FLAIR MRI.
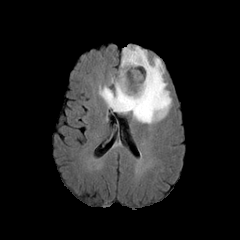
T1-weighted MR image.
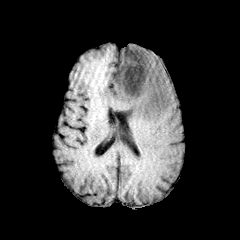
Post-contrast T1-weighted MRI.
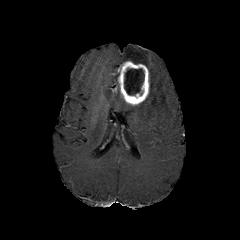
T2-weighted MR.
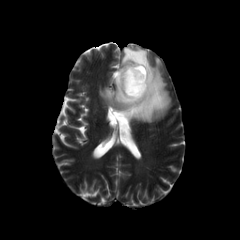
240x240 px.
Segmented structures:
* necrotic tumor core: <bbox>124, 68, 144, 94</bbox>
* peritumoral edema: <bbox>99, 45, 171, 123</bbox>, <bbox>111, 72, 116, 88</bbox>
* enhancing tumor: <bbox>115, 60, 149, 105</bbox>